Brain | 240x240
FLAIR MRI.
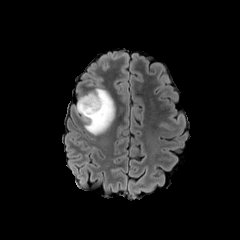
T1-weighted MR.
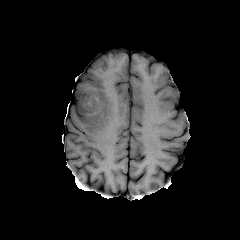
Post-contrast T1-weighted MR image.
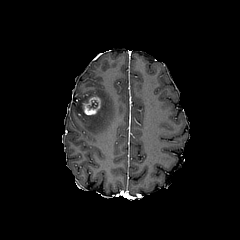
T2-weighted magnetic resonance.
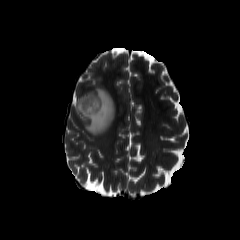
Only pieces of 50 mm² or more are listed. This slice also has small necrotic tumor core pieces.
The peritumoral edema is at 74 88 115 135. The enhancing tumor appears at 82 96 101 115.